FLAIR MR.
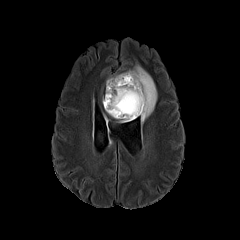
T1-weighted magnetic resonance.
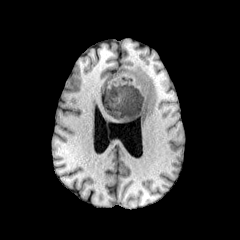
Post-contrast T1-weighted MRI.
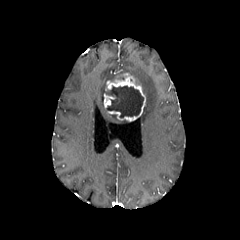
T2-weighted MRI.
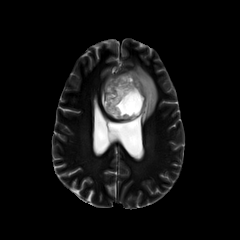
Head
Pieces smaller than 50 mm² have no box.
{
  "enhancing_tumor": [
    "box(104, 94, 115, 108)",
    "box(106, 73, 145, 121)"
  ],
  "necrotic_tumor_core": [
    "box(106, 85, 143, 117)"
  ],
  "peritumoral_edema": [
    "box(107, 73, 123, 81)",
    "box(126, 64, 157, 123)"
  ]
}